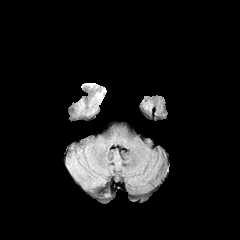
FLAIR magnetic resonance.
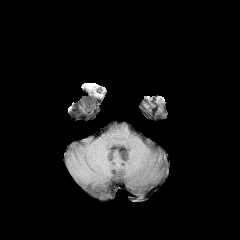
T1-weighted MR.
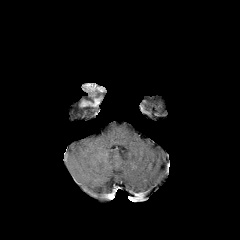
Post-contrast T1-weighted MR image.
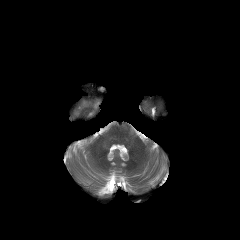
T2-weighted MR image.
240x240 px | Axial plane | Brain
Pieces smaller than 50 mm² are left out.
Findings:
- peritumoral edema: 86 84 103 101
- enhancing tumor: 79 98 100 107